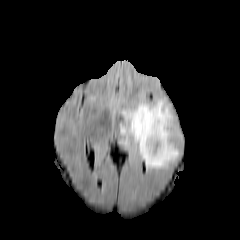
FLAIR MRI.
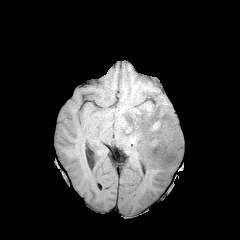
T1-weighted MRI.
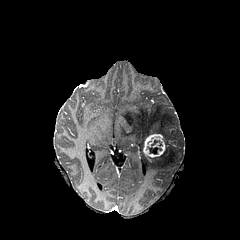
Post-contrast T1-weighted MR image.
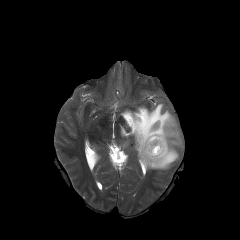
T2-weighted MR.
Axial view
Annotated regions:
* peritumoral edema: bbox=[120, 99, 181, 169]
* enhancing tumor: bbox=[143, 133, 166, 161]
* necrotic tumor core: bbox=[147, 140, 161, 154]